Slice 30/155 | Brain
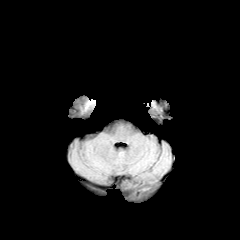
FLAIR MR image.
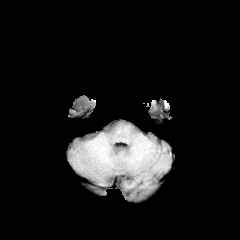
T1-weighted MRI.
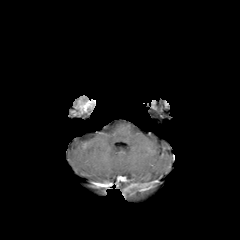
Same slice, post-contrast T1-weighted MR.
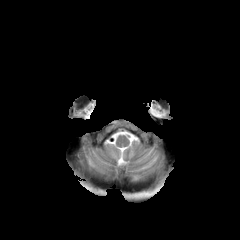
T2-weighted MR image of the same slice.
enhancing tumor — 74 99 95 114